Head. Slice index 97.
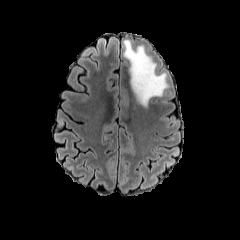
FLAIR MR image.
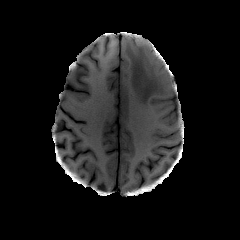
T1-weighted MR image of the same slice.
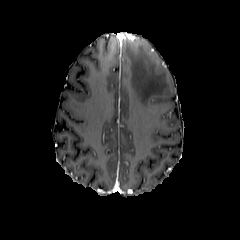
Post-contrast T1-weighted MR image of the same slice.
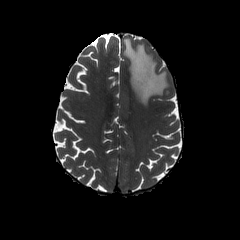
T2-weighted MRI.
peritumoral edema: box=[123, 37, 168, 106]